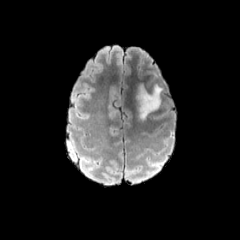
FLAIR MRI.
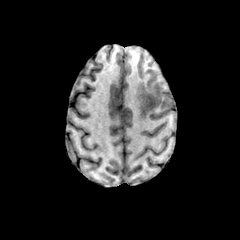
T1-weighted MR of the same slice.
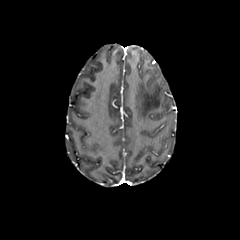
Post-contrast T1-weighted MR image.
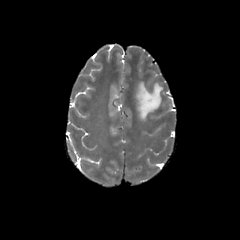
Same slice, T2-weighted MR.
Image size 240x240
peritumoral edema: 137 84 162 119